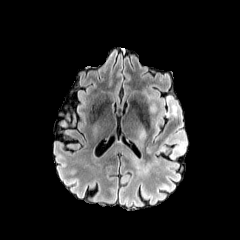
FLAIR MRI.
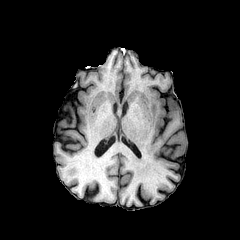
T1-weighted MR.
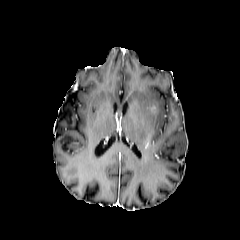
Same slice, post-contrast T1-weighted MRI.
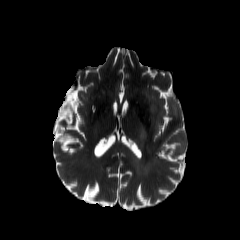
T2-weighted MRI.
Image size 240x240. Axial slice. Brain.
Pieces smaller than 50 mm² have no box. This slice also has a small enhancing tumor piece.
The peritumoral edema lies within rect(139, 90, 187, 162).